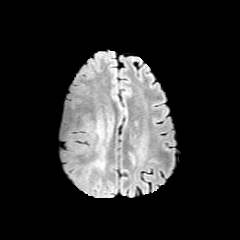
FLAIR magnetic resonance.
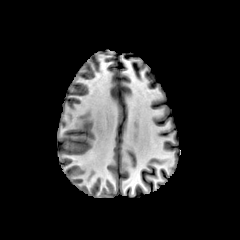
T1-weighted MRI.
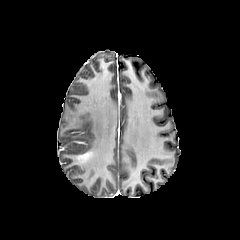
Post-contrast T1-weighted magnetic resonance.
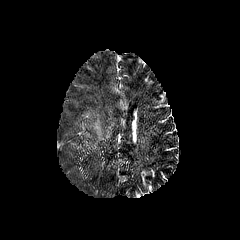
T2-weighted MR image of the same slice.
Axial plane
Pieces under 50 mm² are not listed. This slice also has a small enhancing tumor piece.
peritumoral edema: bbox(90, 119, 114, 172)